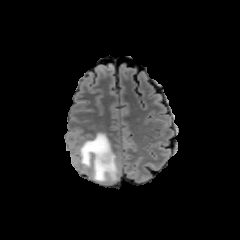
FLAIR MR image.
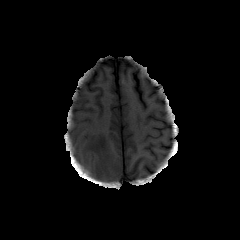
T1-weighted MR.
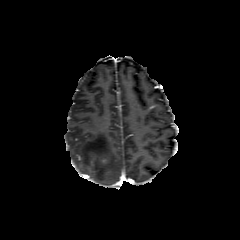
Post-contrast T1-weighted MRI.
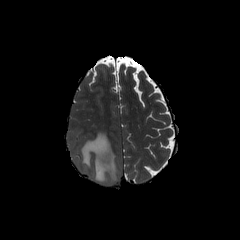
T2-weighted MRI.
Head
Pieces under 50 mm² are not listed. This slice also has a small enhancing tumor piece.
peritumoral edema: (80, 132, 119, 183)